240x240. Slice index 53. Image width 240 mm. Brain.
FLAIR magnetic resonance.
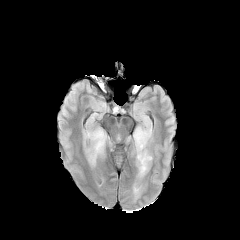
T1-weighted magnetic resonance.
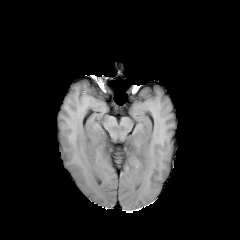
Post-contrast T1-weighted magnetic resonance.
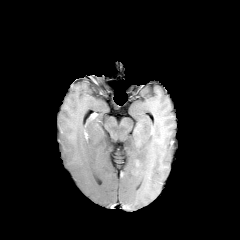
T2-weighted MRI.
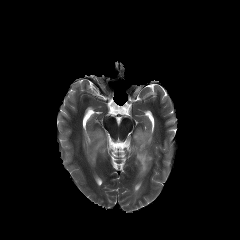
peritumoral edema at box(87, 129, 106, 164); box(133, 128, 152, 176)